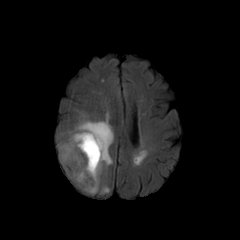
FLAIR magnetic resonance.
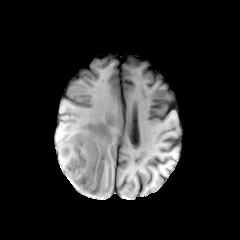
T1-weighted MR image of the same slice.
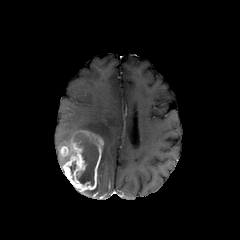
Post-contrast T1-weighted MR image.
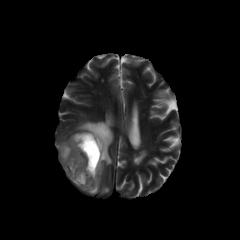
T2-weighted MR image.
Head | 240x240
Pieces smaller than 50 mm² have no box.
peritumoral edema: box=[58, 113, 113, 194] | necrotic tumor core: box=[76, 137, 98, 185] | enhancing tumor: box=[60, 146, 68, 156]; box=[62, 130, 103, 192]